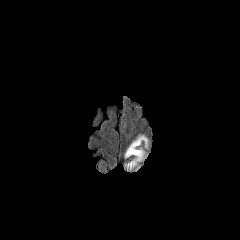
FLAIR MR.
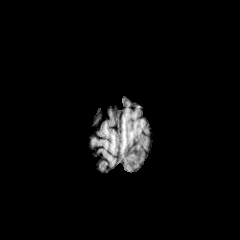
T1-weighted MR.
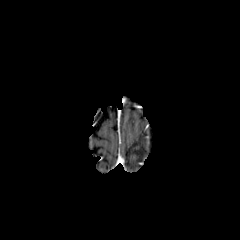
Same slice, post-contrast T1-weighted magnetic resonance.
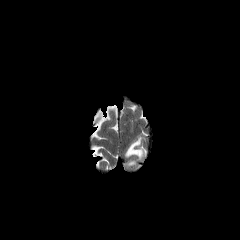
T2-weighted MRI of the same slice.
Axial slice
The peritumoral edema appears at (left=124, top=132, right=150, bottom=170).